FLAIR MR image.
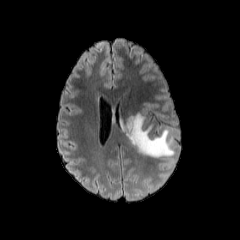
T1-weighted MRI.
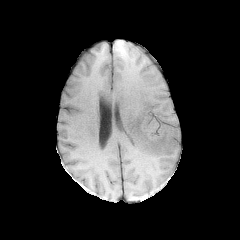
Post-contrast T1-weighted MRI.
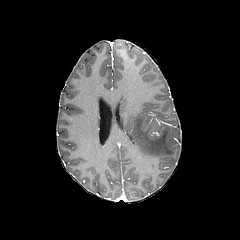
T2-weighted magnetic resonance.
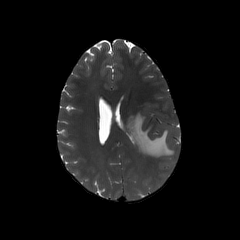
Brain
{"peritumoral_edema": ["(123, 113, 175, 157)"]}